FLAIR MR.
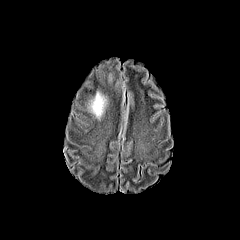
T1-weighted magnetic resonance.
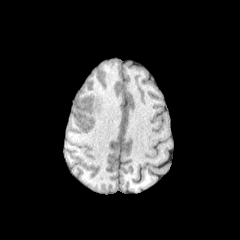
Post-contrast T1-weighted MR image.
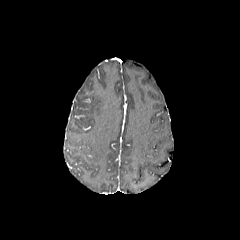
T2-weighted MRI.
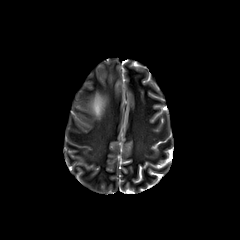
240x240 px, Head
{
  "peritumoral_edema": [
    "<bbox>88, 87, 107, 119</bbox>"
  ]
}